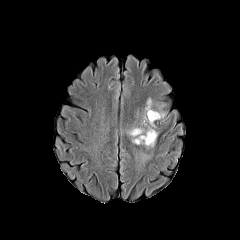
FLAIR magnetic resonance.
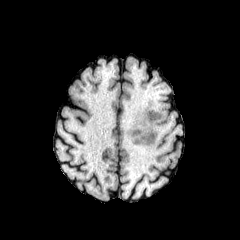
Same slice, T1-weighted MR image.
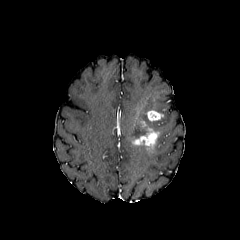
Post-contrast T1-weighted MRI of the same slice.
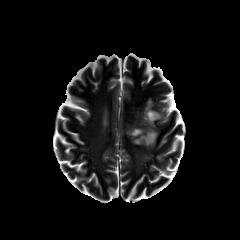
T2-weighted MR image of the same slice.
240x240 px. Head.
enhancing tumor at [132,121,158,148], [147,110,163,121]
peritumoral edema at [133,150,151,167], [154,102,165,118], [135,96,155,130], [125,119,147,139]